Slice 90 of 155 | 240x240 px
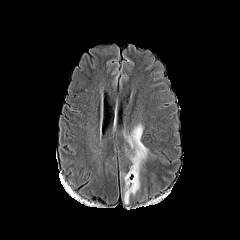
FLAIR magnetic resonance.
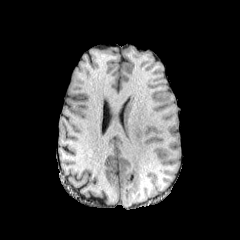
T1-weighted MR.
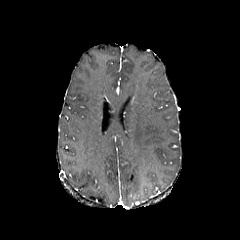
Post-contrast T1-weighted MR of the same slice.
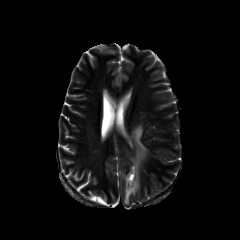
T2-weighted MR image of the same slice.
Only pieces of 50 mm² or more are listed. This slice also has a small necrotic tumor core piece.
{"enhancing_tumor": ["bbox(127, 172, 135, 184)"], "peritumoral_edema": ["bbox(124, 125, 147, 203)"]}